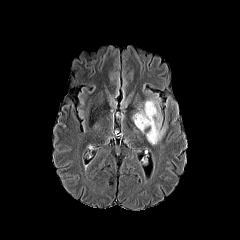
FLAIR MR image.
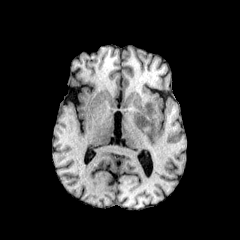
T1-weighted MRI.
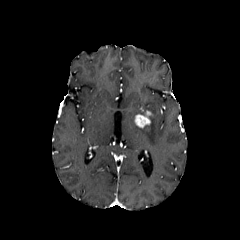
Post-contrast T1-weighted MR.
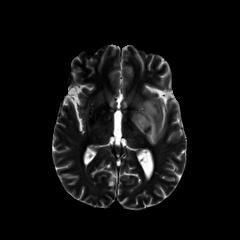
T2-weighted MR image of the same slice.
Image size 240x240
{"enhancing_tumor": ["134, 110, 152, 128"], "peritumoral_edema": ["132, 96, 165, 144"]}